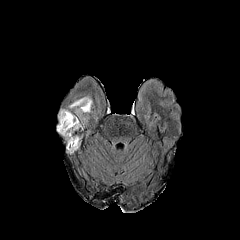
FLAIR MRI.
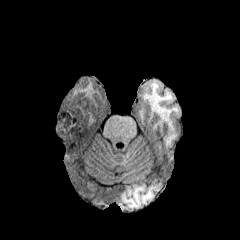
T1-weighted MRI of the same slice.
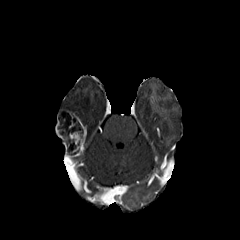
Post-contrast T1-weighted MRI.
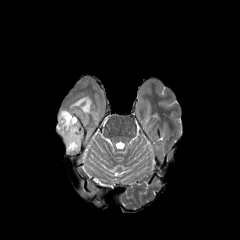
T2-weighted MRI.
Axial plane; 240x240
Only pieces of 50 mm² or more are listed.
<segmentation>
  <necrotic_tumor_core><box>57,112,81,153</box></necrotic_tumor_core>
  <peritumoral_edema><box>58,96,92,124</box></peritumoral_edema>
  <enhancing_tumor><box>69,131,81,153</box>, <box>56,127,67,152</box>, <box>67,111,83,127</box></enhancing_tumor>
</segmentation>